Axial slice
FLAIR MR image.
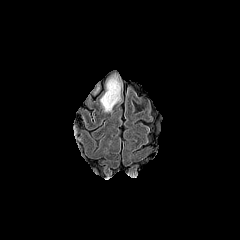
T1-weighted MRI.
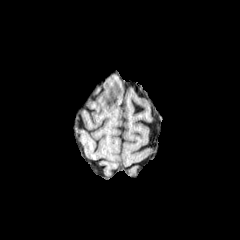
Post-contrast T1-weighted magnetic resonance.
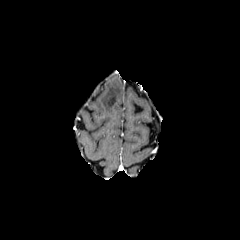
T2-weighted MR image.
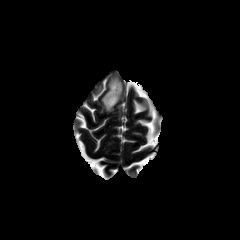
peritumoral edema: bounding box box=[100, 77, 122, 111]